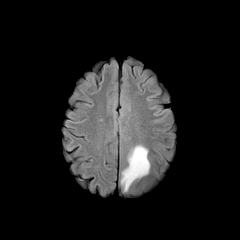
FLAIR magnetic resonance.
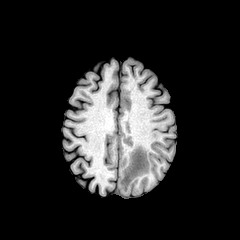
T1-weighted MRI.
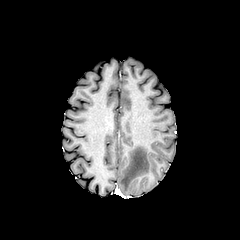
Post-contrast T1-weighted MR of the same slice.
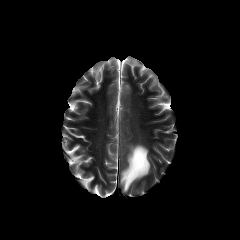
Same slice, T2-weighted MRI.
Axial slice
Annotated regions:
• peritumoral edema: (120,144,150,191)